Image width 240 mm, 1.00 mm slice spacing, 240x240 px
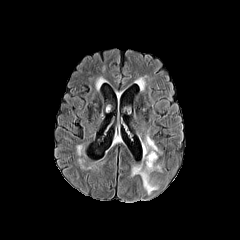
FLAIR magnetic resonance.
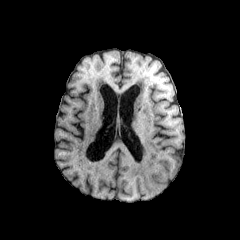
Same slice, T1-weighted magnetic resonance.
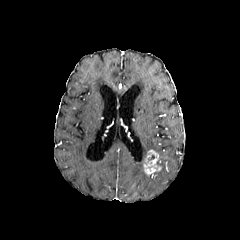
Post-contrast T1-weighted MR image.
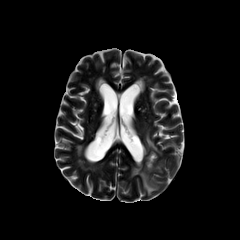
T2-weighted MRI of the same slice.
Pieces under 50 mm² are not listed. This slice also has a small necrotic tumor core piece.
<segmentation>
  <peritumoral_edema>132 164 157 194, 144 134 160 157</peritumoral_edema>
  <enhancing_tumor>143 150 161 175</enhancing_tumor>
</segmentation>